FLAIR MR.
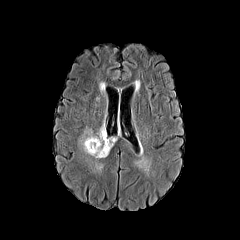
T1-weighted MR.
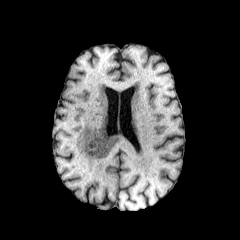
Post-contrast T1-weighted MR image.
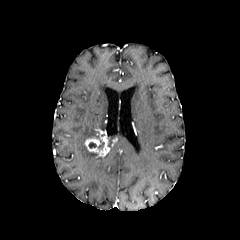
T2-weighted MR.
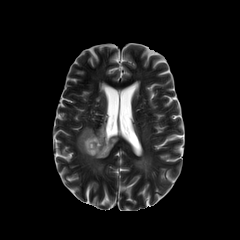
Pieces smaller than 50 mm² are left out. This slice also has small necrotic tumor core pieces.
The enhancing tumor lies within 85:130:109:157. The 3 largest peritumoral edema regions appear at 79:127:97:156, 109:136:118:149, 95:162:103:170.